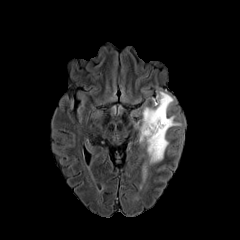
FLAIR MRI.
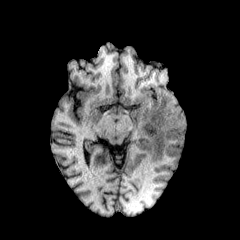
T1-weighted MR image of the same slice.
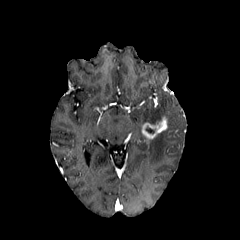
Post-contrast T1-weighted MR image.
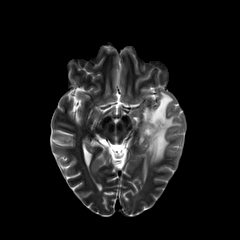
T2-weighted MR.
Axial slice
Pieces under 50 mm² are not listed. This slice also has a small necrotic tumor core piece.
* enhancing tumor: 141, 116, 167, 140
* peritumoral edema: 137, 116, 181, 164; 143, 164, 146, 180; 142, 91, 173, 124